Slice 98/155. Axial plane.
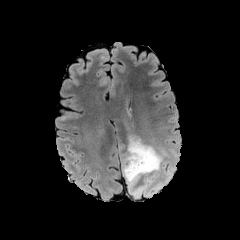
FLAIR MR image.
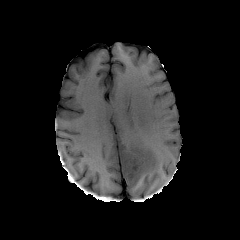
T1-weighted MR image.
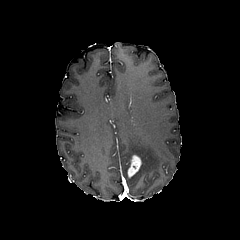
Same slice, post-contrast T1-weighted magnetic resonance.
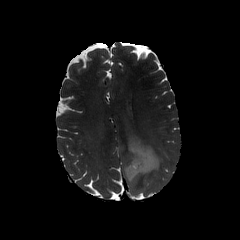
Same slice, T2-weighted magnetic resonance.
The peritumoral edema is located at [120,136,166,195]. The enhancing tumor is bounded by [127,154,141,178].